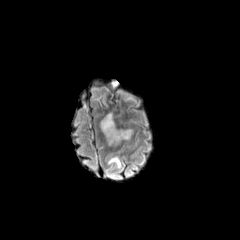
FLAIR MR image.
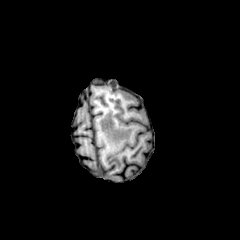
Same slice, T1-weighted MR image.
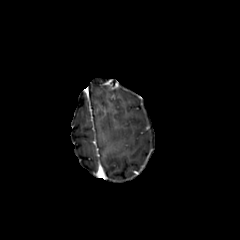
Post-contrast T1-weighted MRI.
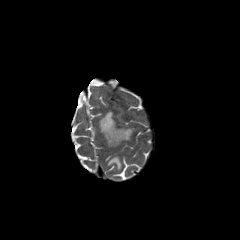
T2-weighted MR of the same slice.
peritumoral_edema:
  - (x1=100, y1=112, x2=133, y2=145)
  - (x1=108, y1=156, x2=121, y2=168)